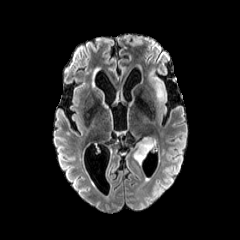
FLAIR MR image.
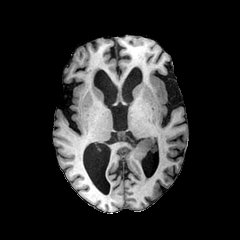
T1-weighted magnetic resonance of the same slice.
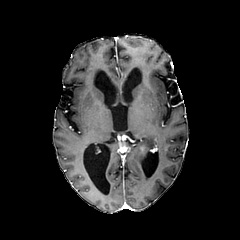
Post-contrast T1-weighted MR image.
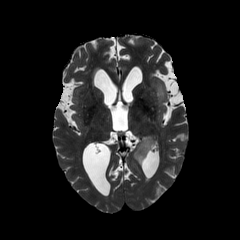
T2-weighted MR image of the same slice.
Axial slice
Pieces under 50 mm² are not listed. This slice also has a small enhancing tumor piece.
peritumoral edema: 134:137:156:163